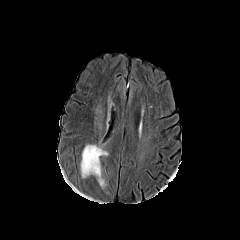
FLAIR MR image.
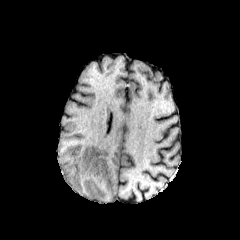
Same slice, T1-weighted magnetic resonance.
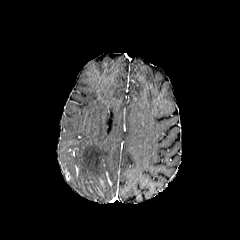
Post-contrast T1-weighted MR.
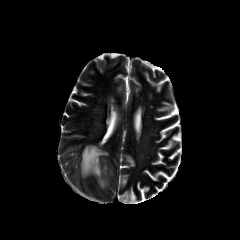
Same slice, T2-weighted MR image.
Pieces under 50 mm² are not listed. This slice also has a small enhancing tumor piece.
The peritumoral edema is located at 80,144,108,188.